FLAIR MR.
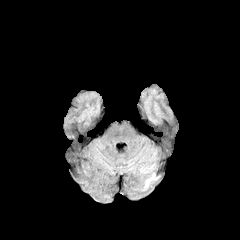
T1-weighted MR.
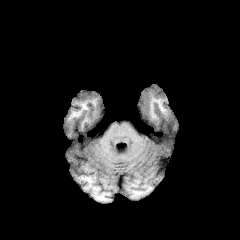
Post-contrast T1-weighted magnetic resonance.
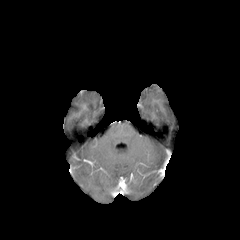
T2-weighted magnetic resonance.
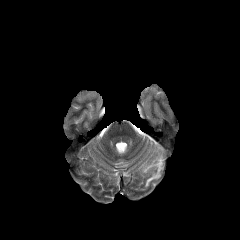
Axial view; Head
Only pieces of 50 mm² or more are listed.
peritumoral_edema:
  - (x1=137, y1=173, x2=158, y2=190)
  - (x1=141, y1=163, x2=156, y2=172)